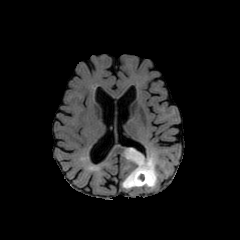
FLAIR MR image.
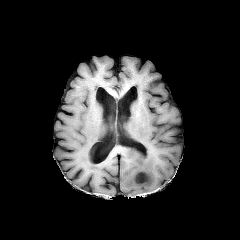
T1-weighted magnetic resonance.
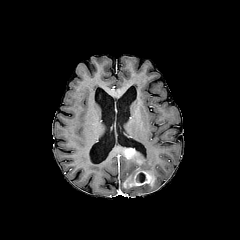
Post-contrast T1-weighted magnetic resonance.
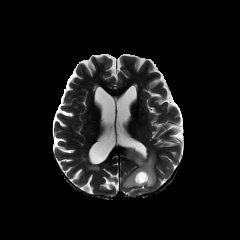
Same slice, T2-weighted MR image.
Head. Axial plane.
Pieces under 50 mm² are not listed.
<segmentation>
  <necrotic_tumor_core><bbox>138, 172, 145, 182</bbox></necrotic_tumor_core>
  <enhancing_tumor><bbox>124, 148, 142, 164</bbox>, <bbox>123, 168, 155, 187</bbox></enhancing_tumor>
  <peritumoral_edema><bbox>122, 145, 158, 189</bbox></peritumoral_edema>
</segmentation>